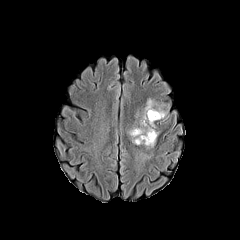
FLAIR MR.
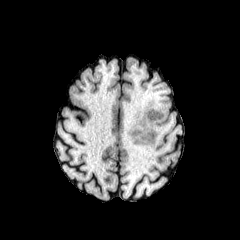
T1-weighted MR image of the same slice.
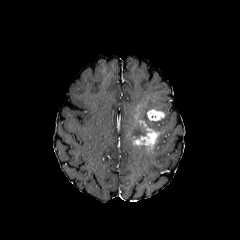
Post-contrast T1-weighted MRI.
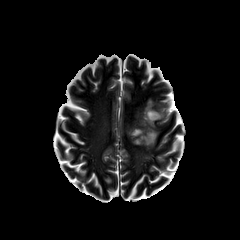
T2-weighted MRI.
Brain
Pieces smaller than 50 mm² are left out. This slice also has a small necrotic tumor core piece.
Findings:
• enhancing tumor: box(147, 109, 164, 120); box(133, 120, 159, 148)
• peritumoral edema: box(134, 98, 169, 129); box(128, 125, 145, 141); box(135, 149, 152, 169)